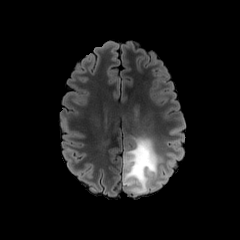
FLAIR MR image.
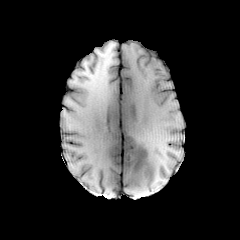
T1-weighted magnetic resonance.
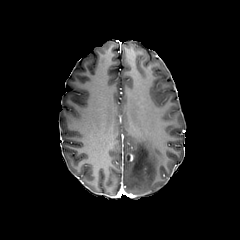
Same slice, post-contrast T1-weighted MR.
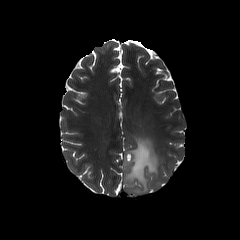
T2-weighted MRI.
240x240 px
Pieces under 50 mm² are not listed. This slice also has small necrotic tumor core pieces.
Annotated regions:
- peritumoral edema: <box>122,136,168,195</box>
- enhancing tumor: <box>125,153,133,161</box>